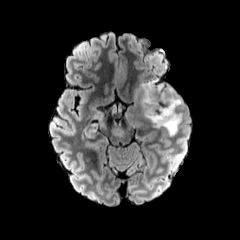
FLAIR MR image.
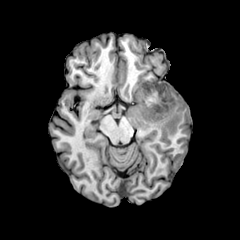
Same slice, T1-weighted MR image.
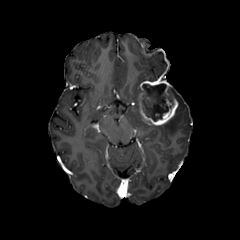
Post-contrast T1-weighted MRI of the same slice.
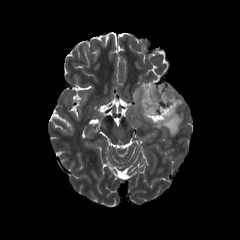
T2-weighted magnetic resonance.
Head, 240x240
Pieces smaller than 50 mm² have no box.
Findings:
- peritumoral edema: [153, 86, 184, 136], [134, 87, 139, 107]
- enhancing tumor: [137, 78, 178, 125]
- necrotic tumor core: [142, 83, 173, 121]